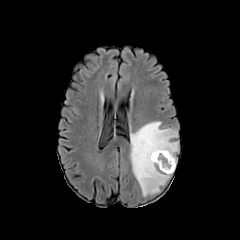
FLAIR magnetic resonance.
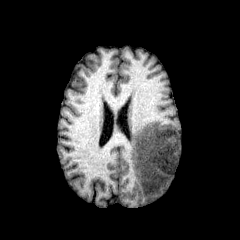
Same slice, T1-weighted MRI.
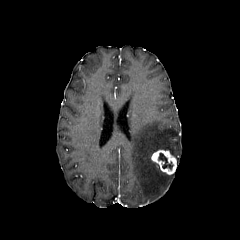
Post-contrast T1-weighted magnetic resonance.
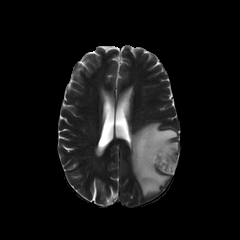
T2-weighted MR image.
Image size 240x240
enhancing_tumor:
  - x1=151 y1=150 x2=176 y2=174
necrotic_tumor_core:
  - x1=158 y1=153 x2=173 y2=169
peritumoral_edema:
  - x1=131 y1=121 x2=178 y2=196